Slice index 63.
FLAIR MR.
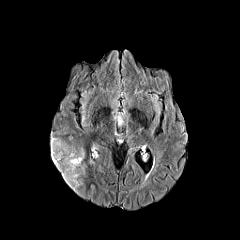
T1-weighted magnetic resonance.
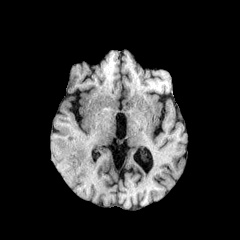
Post-contrast T1-weighted MRI.
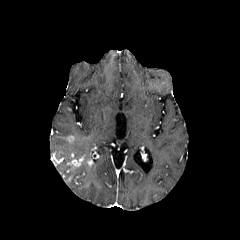
T2-weighted MR image.
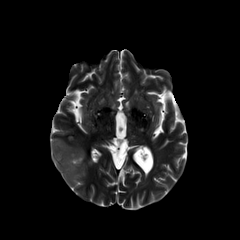
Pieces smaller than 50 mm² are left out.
Findings:
* peritumoral edema: 51,137,84,190
* enhancing tumor: 67,153,84,170